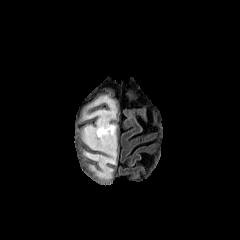
FLAIR MRI.
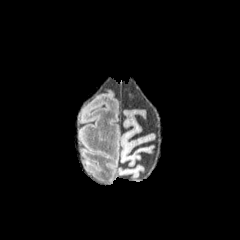
Same slice, T1-weighted MRI.
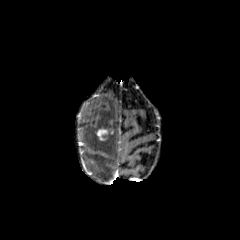
Post-contrast T1-weighted MR.
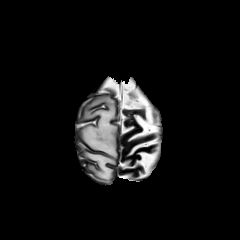
T2-weighted MRI.
Head; Axial plane
The enhancing tumor is at (x1=96, y1=128, x2=113, y2=140). The peritumoral edema is located at (x1=82, y1=96, x2=117, y2=180).